Image size 240x240, Head, Axial slice
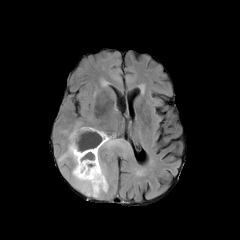
FLAIR magnetic resonance.
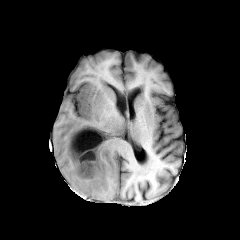
T1-weighted magnetic resonance of the same slice.
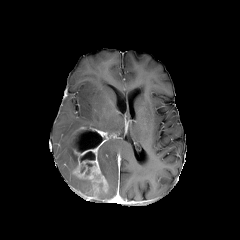
Same slice, post-contrast T1-weighted MR.
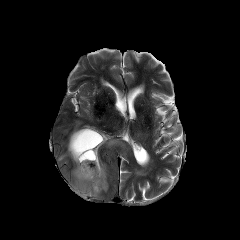
T2-weighted MR.
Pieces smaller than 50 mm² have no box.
necrotic tumor core = [80,151,95,162], [73,130,103,152]
peritumoral edema = [72,170,92,196], [98,137,124,179], [58,122,80,168]
enhancing tumor = [71,127,115,197]